FLAIR MR image.
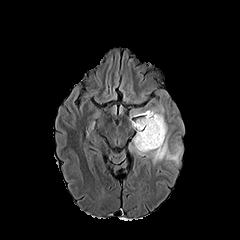
T1-weighted MR.
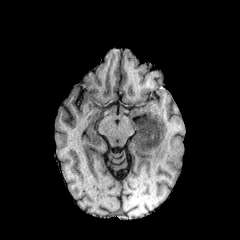
Post-contrast T1-weighted magnetic resonance.
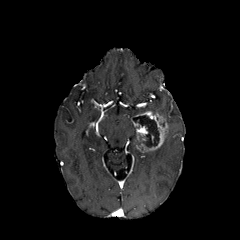
T2-weighted MR.
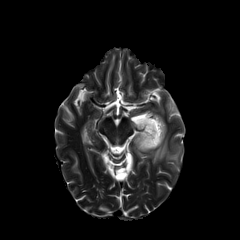
Axial plane | 240x240 | Brain
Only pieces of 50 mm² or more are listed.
necrotic tumor core: x1=134, y1=115, x2=159, y2=147 | peritumoral edema: x1=132, y1=137, x2=142, y2=154; x1=148, y1=135, x2=181, y2=164 | enhancing tumor: x1=134, y1=111, x2=167, y2=152; x1=133, y1=121, x2=147, y2=141